Axial slice, Brain, 240x240
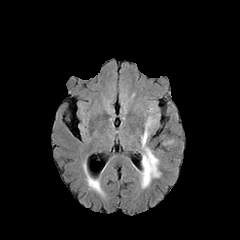
FLAIR MRI.
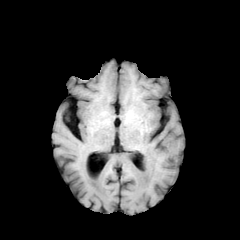
T1-weighted magnetic resonance.
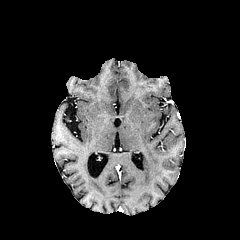
Post-contrast T1-weighted magnetic resonance.
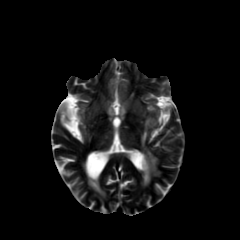
Same slice, T2-weighted MRI.
{
  "peritumoral_edema": [
    "(x1=141, y1=118, x2=159, y2=187)"
  ]
}